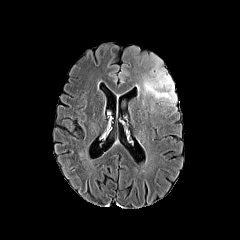
FLAIR MR image.
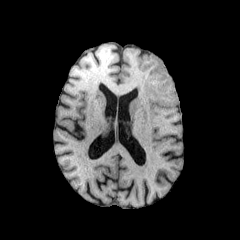
Same slice, T1-weighted MR.
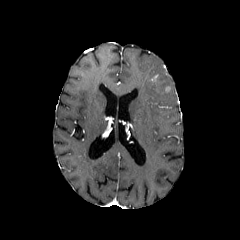
Post-contrast T1-weighted MR.
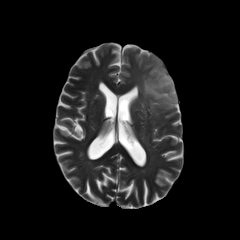
Same slice, T2-weighted MR image.
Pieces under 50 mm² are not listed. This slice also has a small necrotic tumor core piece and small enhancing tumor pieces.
- peritumoral edema: box(141, 54, 177, 109)